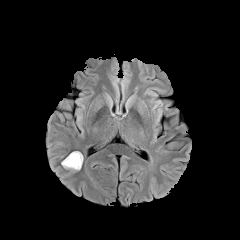
FLAIR MR.
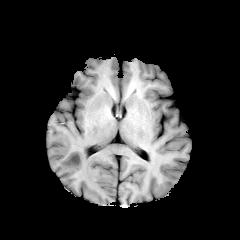
T1-weighted MRI.
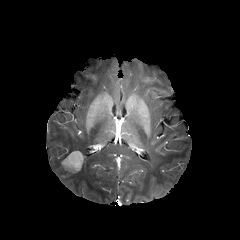
Post-contrast T1-weighted MR image.
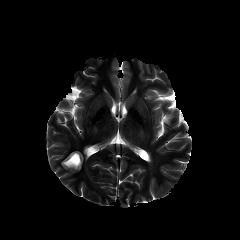
Same slice, T2-weighted MRI.
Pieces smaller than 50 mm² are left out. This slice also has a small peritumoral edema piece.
* enhancing tumor: box(62, 151, 83, 170)